Axial slice, Image size 240x240, Slice index 46
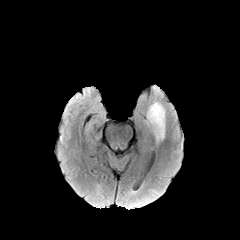
FLAIR magnetic resonance.
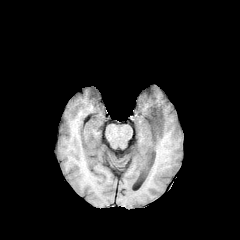
Same slice, T1-weighted MR.
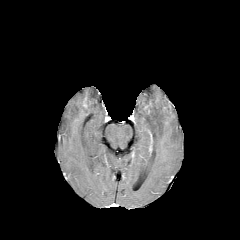
Same slice, post-contrast T1-weighted MR image.
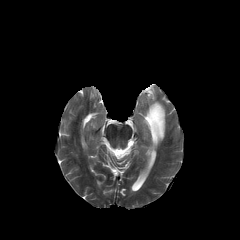
Same slice, T2-weighted MR.
Findings:
- peritumoral edema: rect(146, 102, 165, 141)